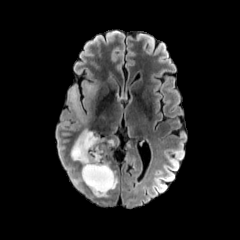
FLAIR MRI.
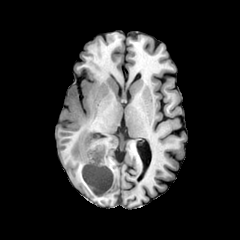
T1-weighted magnetic resonance of the same slice.
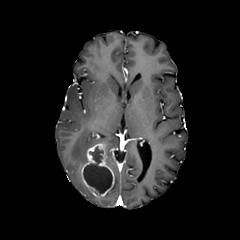
Post-contrast T1-weighted MR.
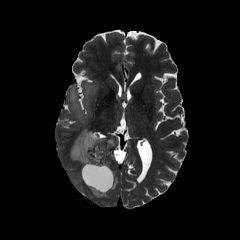
Same slice, T2-weighted MR.
Axial view | Brain
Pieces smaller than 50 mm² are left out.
necrotic tumor core: (left=83, top=146, right=112, bottom=193) | peritumoral edema: (left=68, top=79, right=104, bottom=164) | enhancing tumor: (left=81, top=143, right=114, bottom=197)